Head; Slice 104 of 155
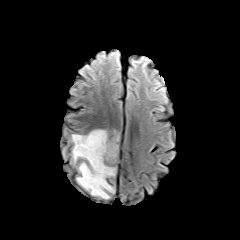
FLAIR MRI.
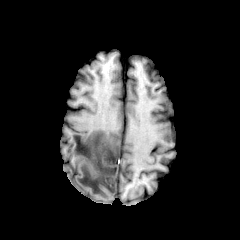
T1-weighted magnetic resonance.
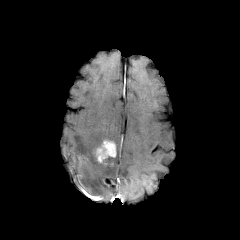
Post-contrast T1-weighted MR.
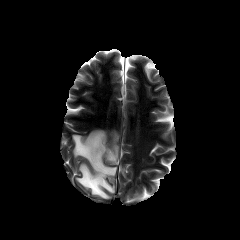
T2-weighted MRI.
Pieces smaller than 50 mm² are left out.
peritumoral edema = <box>72,129,116,199</box>
enhancing tumor = <box>95,140,116,164</box>